FLAIR MR.
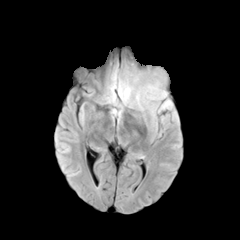
T1-weighted MRI.
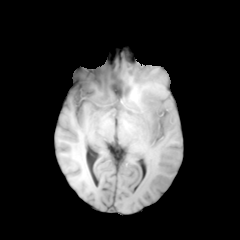
Post-contrast T1-weighted magnetic resonance.
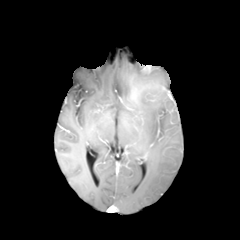
T2-weighted MRI.
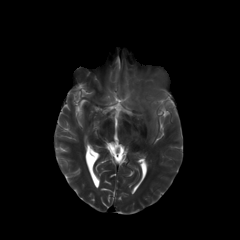
Axial view. Brain.
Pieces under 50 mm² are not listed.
* peritumoral edema: <bbox>162, 100, 171, 108</bbox>